240x240 px. Head. Axial slice. Slice 76/155.
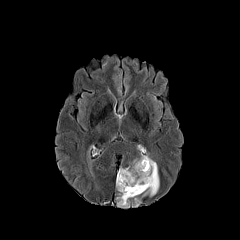
FLAIR magnetic resonance.
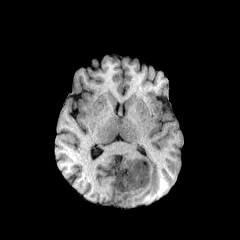
T1-weighted MR image.
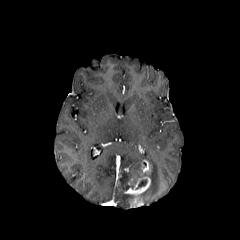
Same slice, post-contrast T1-weighted MR.
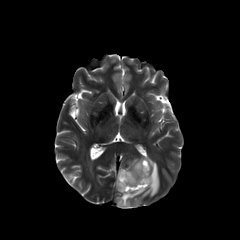
T2-weighted MR image.
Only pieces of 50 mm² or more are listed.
peritumoral edema at box=[116, 154, 159, 207]
necrotic tumor core at box=[136, 179, 146, 189]
enhancing tumor at box=[124, 159, 151, 206]